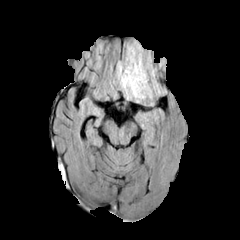
FLAIR MRI.
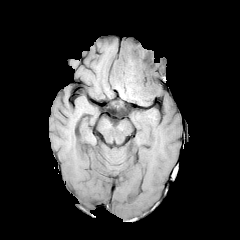
T1-weighted MRI.
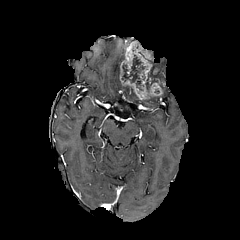
Post-contrast T1-weighted MRI of the same slice.
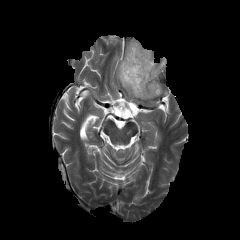
Same slice, T2-weighted MRI.
Image size 240x240
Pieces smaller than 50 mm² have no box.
{"necrotic_tumor_core": ["122, 55, 144, 86"], "enhancing_tumor": ["120, 40, 162, 100"], "peritumoral_edema": ["146, 60, 156, 90", "116, 61, 141, 101"]}